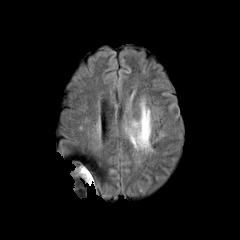
FLAIR magnetic resonance.
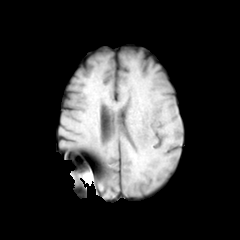
T1-weighted MRI.
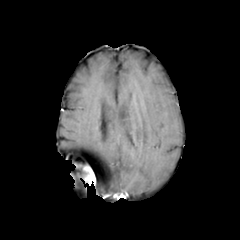
Post-contrast T1-weighted MRI.
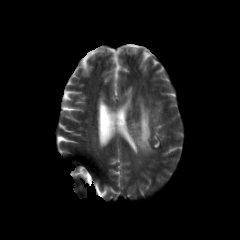
T2-weighted MRI.
240x240.
The peritumoral edema is at region(122, 98, 152, 153).